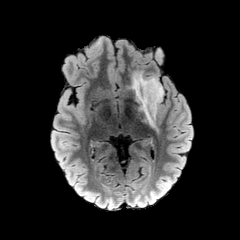
FLAIR magnetic resonance.
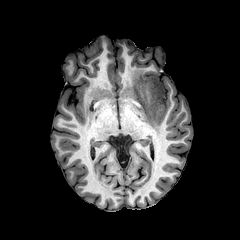
T1-weighted magnetic resonance of the same slice.
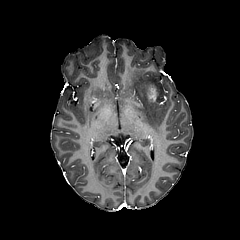
Same slice, post-contrast T1-weighted MR image.
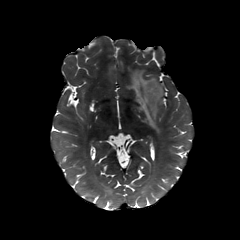
Same slice, T2-weighted MRI.
Head
enhancing tumor: bounding box [x1=147, y1=85, x2=158, y2=102]
peritumoral edema: bounding box [x1=131, y1=71, x2=163, y2=128]